Slice 89/155. Axial plane. Brain.
FLAIR MRI.
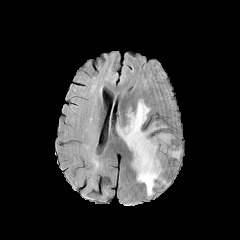
T1-weighted MRI.
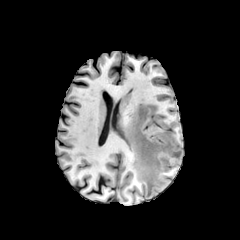
Post-contrast T1-weighted magnetic resonance.
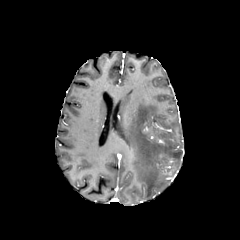
T2-weighted MR.
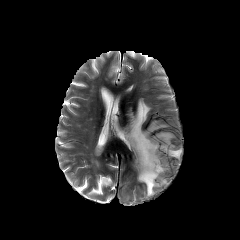
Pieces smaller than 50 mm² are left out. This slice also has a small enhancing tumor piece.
peritumoral_edema:
  - [117,99,181,196]